Image width 240 mm. 240x240 px. Axial view.
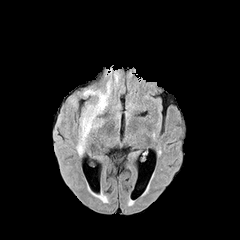
FLAIR MR image.
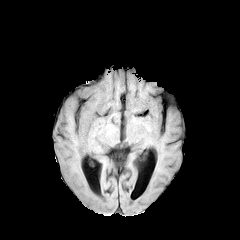
T1-weighted MRI.
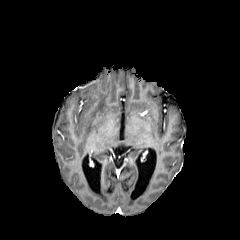
Post-contrast T1-weighted MRI.
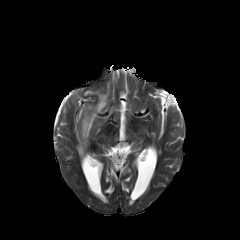
T2-weighted MR.
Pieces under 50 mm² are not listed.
<segmentation>
  <peritumoral_edema>[x1=68, y1=98, x2=79, y2=103], [x1=56, y1=103, x2=63, y2=134], [x1=77, y1=82, x2=111, y2=154]</peritumoral_edema>
</segmentation>